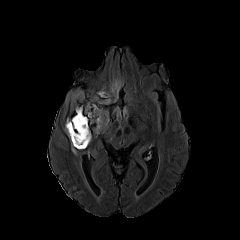
FLAIR MRI.
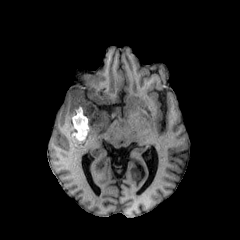
T1-weighted magnetic resonance of the same slice.
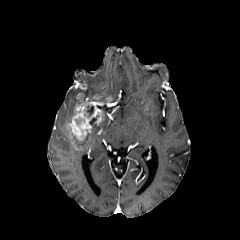
Post-contrast T1-weighted MRI of the same slice.
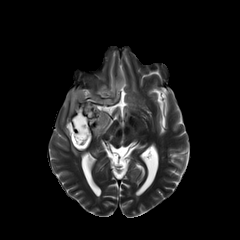
T2-weighted MR.
Head, Axial plane
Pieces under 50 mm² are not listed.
The 5 largest peritumoral edema regions appear at l=100, t=79, r=121, b=101; l=93, t=117, r=109, b=133; l=65, t=90, r=83, b=110; l=71, t=140, r=77, b=155; l=64, t=117, r=70, b=137. The 2 largest necrotic tumor core regions appear at l=72, t=133, r=87, b=147; l=86, t=106, r=93, b=116. The enhancing tumor is at l=67, t=93, r=104, b=149.